Head
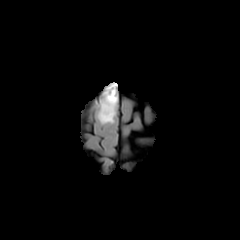
FLAIR MRI.
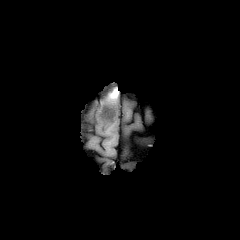
T1-weighted MR of the same slice.
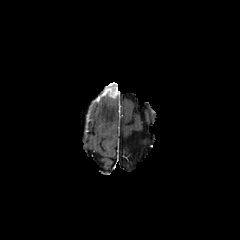
Post-contrast T1-weighted MR.
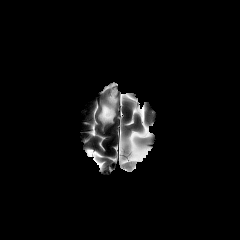
T2-weighted MR image.
Findings:
* enhancing tumor: rect(103, 85, 117, 99)
* peritumoral edema: rect(98, 96, 117, 124)